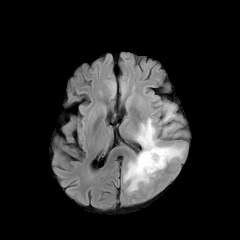
FLAIR magnetic resonance.
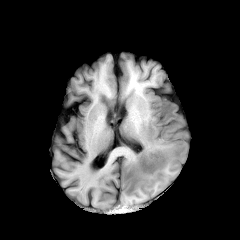
T1-weighted MR.
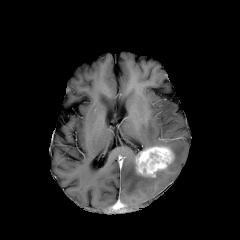
Post-contrast T1-weighted MRI of the same slice.
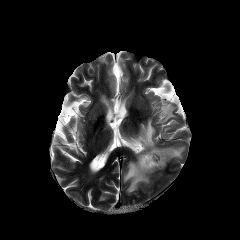
T2-weighted magnetic resonance of the same slice.
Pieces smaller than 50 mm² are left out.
The 3 largest peritumoral edema regions are bounded by x1=123 y1=159 x2=152 y2=193, x1=161 y1=104 x2=175 y2=122, x1=134 y1=118 x2=185 y2=158. The enhancing tumor is bounded by x1=136 y1=146 x2=173 y2=177.